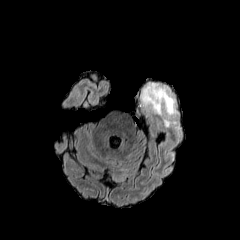
FLAIR MRI.
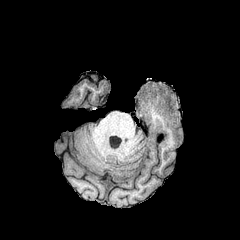
T1-weighted MR.
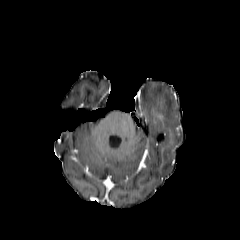
Same slice, post-contrast T1-weighted MR.
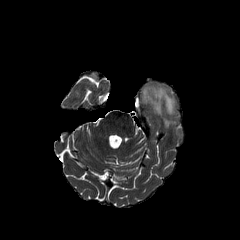
T2-weighted MR image.
Axial slice
peritumoral edema: rect(163, 117, 176, 127); rect(137, 82, 177, 116)